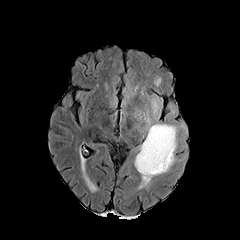
FLAIR MR image.
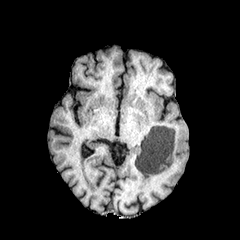
T1-weighted MR image.
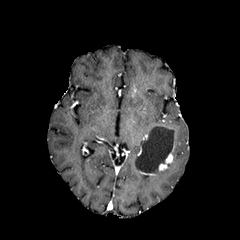
Post-contrast T1-weighted magnetic resonance.
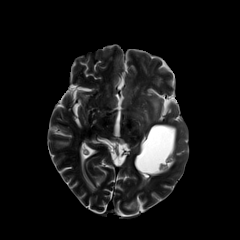
T2-weighted MR image of the same slice.
240x240
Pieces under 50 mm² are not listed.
peritumoral edema — rect(151, 98, 159, 119); rect(140, 115, 177, 187)
necrotic tumor core — rect(136, 125, 174, 173)
enhancing tumor — rect(158, 130, 175, 171)